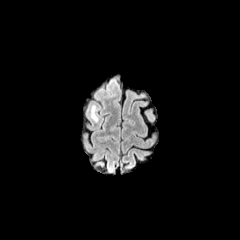
FLAIR MR image.
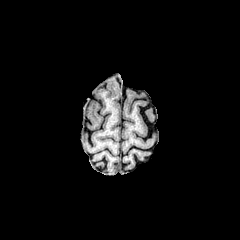
T1-weighted MRI of the same slice.
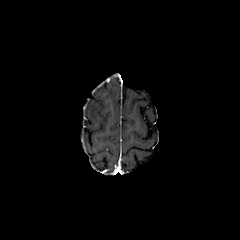
Same slice, post-contrast T1-weighted MR image.
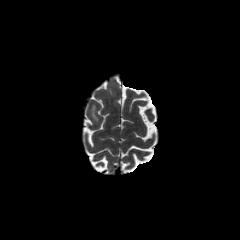
T2-weighted MR of the same slice.
Head; Axial plane
<segmentation>
  <peritumoral_edema>left=91, top=106, right=97, bottom=120</peritumoral_edema>
</segmentation>